Slice index 53
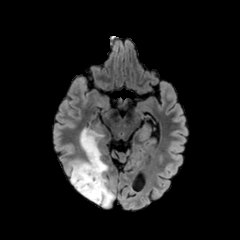
FLAIR MRI.
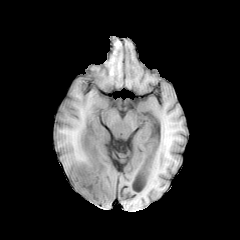
Same slice, T1-weighted MRI.
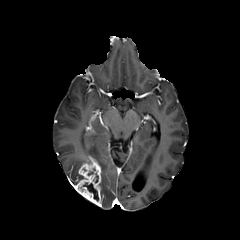
Post-contrast T1-weighted MR.
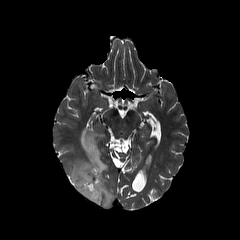
T2-weighted MR image of the same slice.
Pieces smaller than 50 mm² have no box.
necrotic_tumor_core:
  - bbox=[82, 183, 98, 201]
peritumoral_edema:
  - bbox=[66, 128, 114, 207]
enhancing_tumor:
  - bbox=[73, 156, 101, 205]